Brain. Slice 96 of 155.
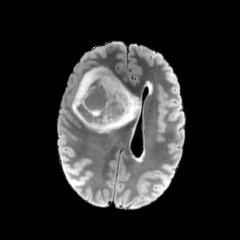
FLAIR MR.
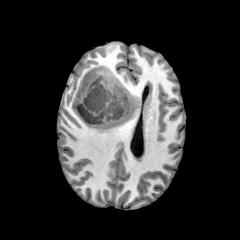
T1-weighted magnetic resonance.
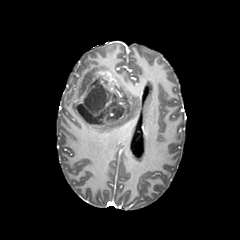
Post-contrast T1-weighted MR.
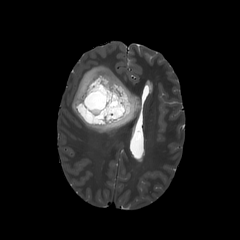
T2-weighted MRI.
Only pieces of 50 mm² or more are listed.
<segmentation>
  <necrotic_tumor_core>(107, 105, 123, 119), (76, 80, 107, 124)</necrotic_tumor_core>
  <peritumoral_edema>(71, 66, 140, 133)</peritumoral_edema>
  <enhancing_tumor>(75, 71, 128, 124)</enhancing_tumor>
</segmentation>